Head
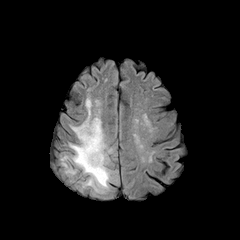
FLAIR magnetic resonance.
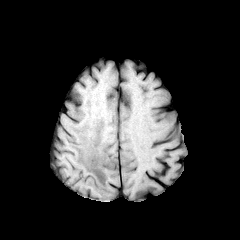
T1-weighted MR of the same slice.
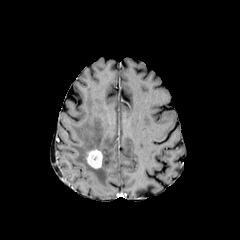
Post-contrast T1-weighted MRI.
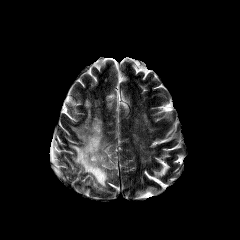
T2-weighted MR image.
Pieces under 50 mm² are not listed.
Annotated regions:
* enhancing tumor: (86, 149, 102, 168)
* peritumoral edema: (70, 98, 111, 191)